240x240
FLAIR MRI.
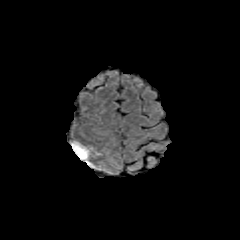
T1-weighted MRI.
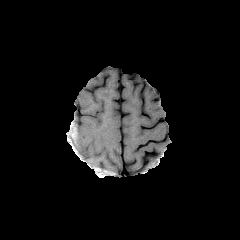
Post-contrast T1-weighted MRI.
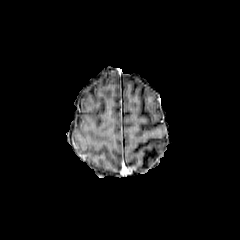
T2-weighted MRI.
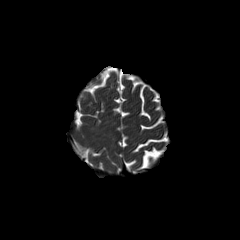
The peritumoral edema is bounded by left=72, top=142, right=93, bottom=165.